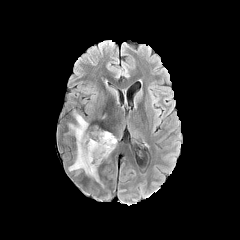
FLAIR magnetic resonance.
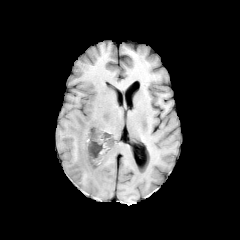
Same slice, T1-weighted MR image.
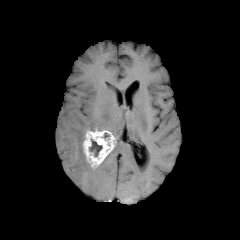
Post-contrast T1-weighted MR image of the same slice.
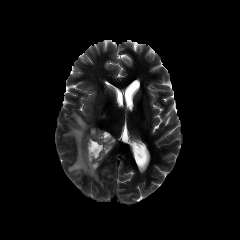
T2-weighted MRI of the same slice.
Axial view; Head; Image size 240x240
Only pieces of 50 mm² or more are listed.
necrotic tumor core at (x1=89, y1=139, x2=102, y2=156)
enhancing tumor at (x1=83, y1=127, x2=115, y2=168)
peritumoral edema at (x1=66, y1=111, x2=104, y2=187)